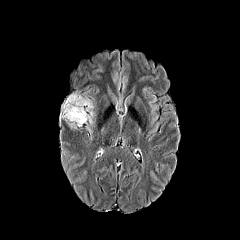
FLAIR MRI.
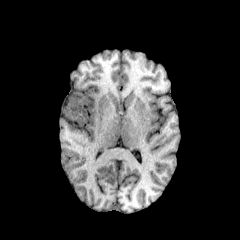
T1-weighted MR image.
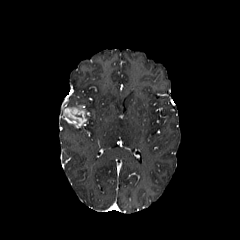
Post-contrast T1-weighted MR image of the same slice.
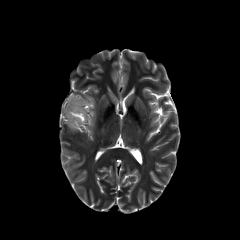
Same slice, T2-weighted MRI.
Brain; 240x240 px
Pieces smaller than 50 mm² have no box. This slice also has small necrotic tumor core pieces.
Segmented structures:
* peritumoral edema: region(69, 95, 93, 114)
* enhancing tumor: region(64, 102, 87, 127)